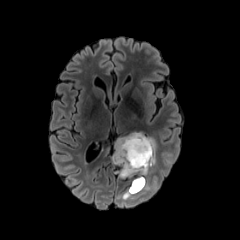
FLAIR MR.
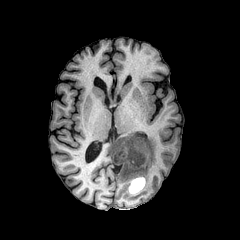
T1-weighted MR.
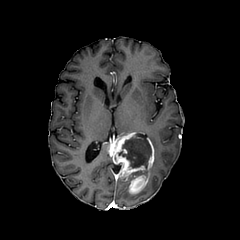
Post-contrast T1-weighted MR image.
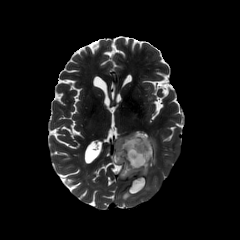
T2-weighted MR.
Brain, 240x240, Axial view
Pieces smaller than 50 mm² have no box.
enhancing tumor: [x1=108, y1=132, x2=154, y2=193] | peritumoral edema: [x1=148, y1=137, x2=157, y2=165], [x1=122, y1=190, x2=134, y2=199], [x1=143, y1=180, x2=150, y2=191] | necrotic tumor core: [x1=131, y1=171, x2=146, y2=175], [x1=118, y1=134, x2=151, y2=168]